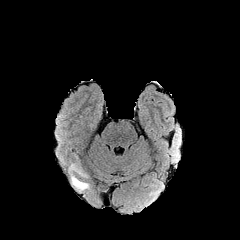
FLAIR MRI.
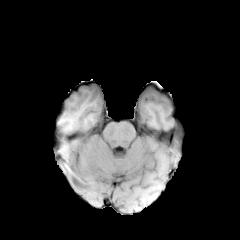
Same slice, T1-weighted MR.
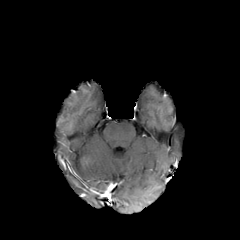
Post-contrast T1-weighted magnetic resonance of the same slice.
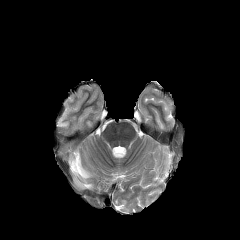
T2-weighted magnetic resonance.
Axial plane. Head.
Segmented structures:
- peritumoral edema: l=71, t=174, r=89, b=190; l=70, t=156, r=88, b=177